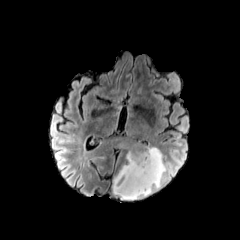
FLAIR MRI.
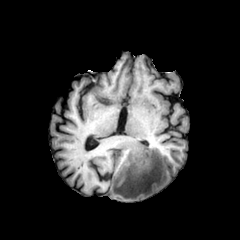
T1-weighted magnetic resonance of the same slice.
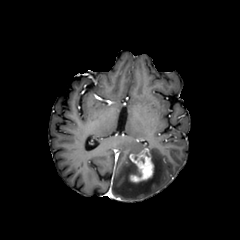
Same slice, post-contrast T1-weighted MRI.
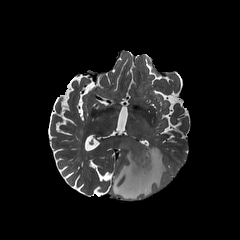
T2-weighted MR of the same slice.
Image size 240x240
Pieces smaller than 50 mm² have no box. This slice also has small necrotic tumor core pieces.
- enhancing tumor: (129, 148, 154, 182)
- peritumoral edema: (112, 147, 167, 200)